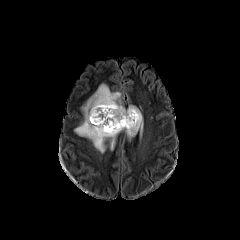
FLAIR MRI.
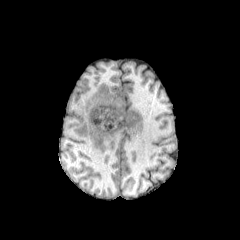
Same slice, T1-weighted MR.
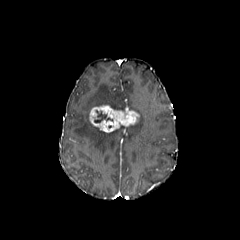
Post-contrast T1-weighted MR image.
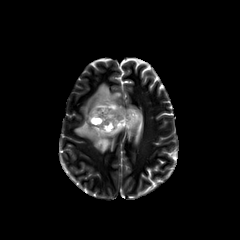
T2-weighted MR image of the same slice.
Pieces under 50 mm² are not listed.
Segmented structures:
• necrotic tumor core: [94, 110, 112, 122]
• peritumoral edema: [74, 83, 143, 152]
• enhancing tumor: [89, 105, 139, 132]